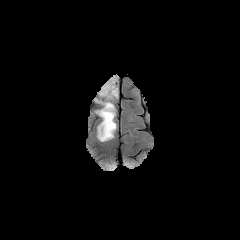
FLAIR MRI.
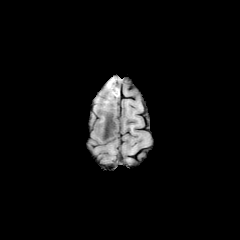
T1-weighted magnetic resonance of the same slice.
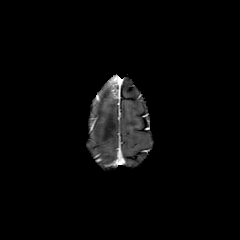
Post-contrast T1-weighted MR.
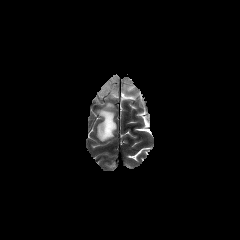
T2-weighted magnetic resonance of the same slice.
Head
<segmentation>
  <peritumoral_edema>region(100, 82, 112, 98); region(96, 102, 116, 141)</peritumoral_edema>
  <enhancing_tumor>region(107, 75, 118, 98)</enhancing_tumor>
</segmentation>